FLAIR magnetic resonance.
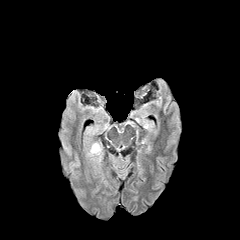
T1-weighted magnetic resonance.
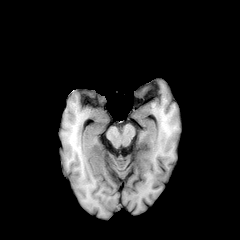
Post-contrast T1-weighted MR image.
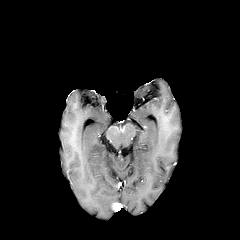
T2-weighted magnetic resonance.
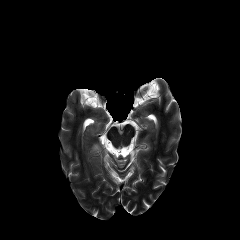
Image size 240x240. Axial slice.
<segmentation>
  <peritumoral_edema>region(90, 143, 101, 157)</peritumoral_edema>
</segmentation>